FLAIR MR image.
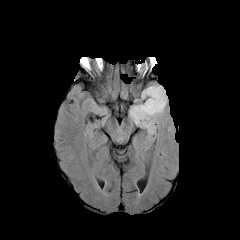
T1-weighted MR image.
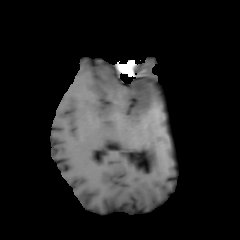
Post-contrast T1-weighted MRI.
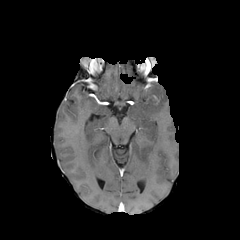
T2-weighted MR image.
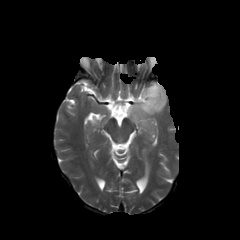
The peritumoral edema is at {"x1": 129, "y1": 83, "x2": 167, "y2": 133}.